Axial plane; Image width 240 mm
FLAIR MR.
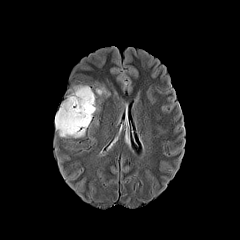
T1-weighted MR image.
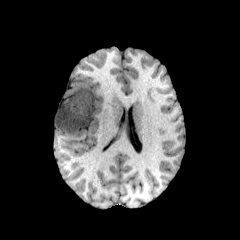
Post-contrast T1-weighted MR.
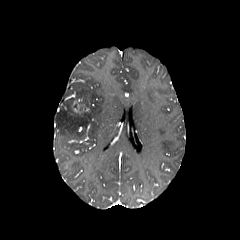
T2-weighted magnetic resonance.
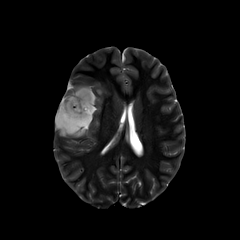
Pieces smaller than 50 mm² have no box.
enhancing_tumor:
  - 72, 98, 89, 114
peritumoral_edema:
  - 55, 98, 85, 137
  - 75, 85, 97, 123
  - 96, 88, 106, 95
necrotic_tumor_core:
  - 73, 97, 89, 107
  - 71, 112, 88, 131